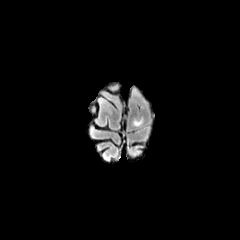
FLAIR MR.
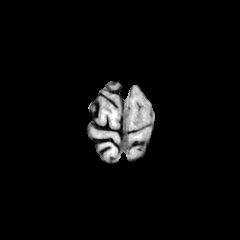
T1-weighted MR of the same slice.
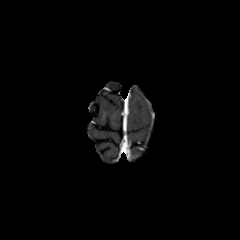
Post-contrast T1-weighted MRI.
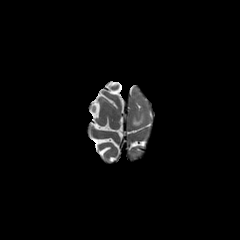
T2-weighted magnetic resonance of the same slice.
240x240 px
The peritumoral edema is bounded by [x1=133, y1=117, x2=143, y2=125].